Image covers 240 mm x 240 mm | Head | Slice index 53 | Axial slice
FLAIR MR image.
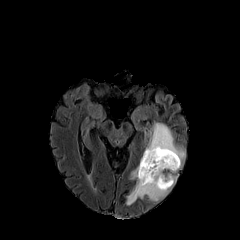
T1-weighted MRI.
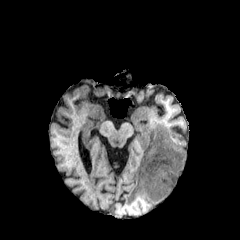
Post-contrast T1-weighted magnetic resonance.
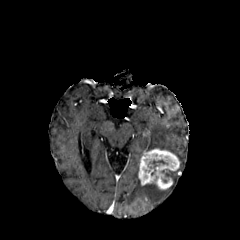
T2-weighted magnetic resonance.
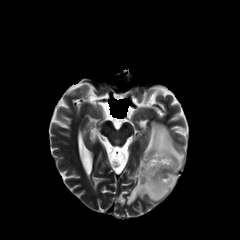
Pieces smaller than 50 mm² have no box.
Findings:
- enhancing tumor: 138,148,180,189
- necrotic tumor core: 149,160,167,175
- peritumoral edema: 145,122,185,169; 126,166,177,205